Brain; Slice 121/155
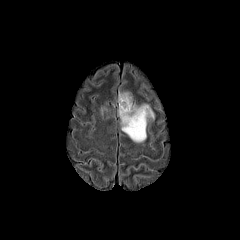
FLAIR MR.
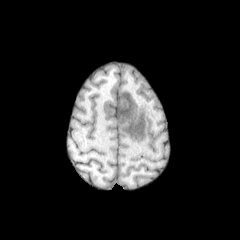
T1-weighted MR.
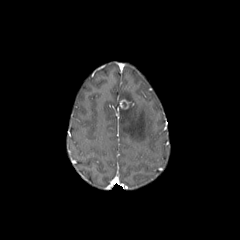
Post-contrast T1-weighted MRI of the same slice.
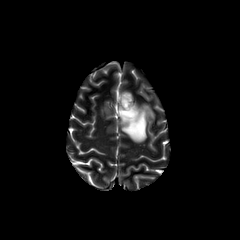
T2-weighted magnetic resonance.
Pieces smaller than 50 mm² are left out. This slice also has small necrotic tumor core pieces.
peritumoral edema — 119:93:131:101, 119:104:154:142
enhancing tumor — 120:99:129:109